FLAIR MRI.
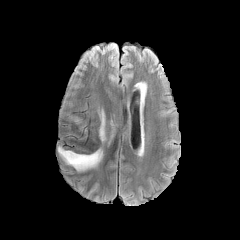
T1-weighted MR image.
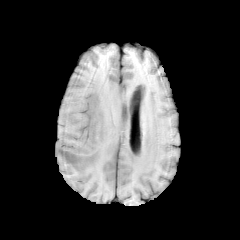
Post-contrast T1-weighted magnetic resonance.
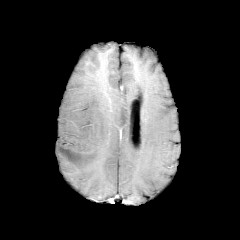
T2-weighted MR image.
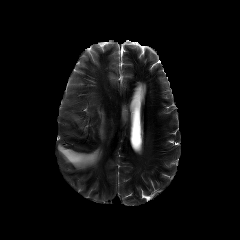
Head.
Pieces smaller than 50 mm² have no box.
Annotated regions:
- peritumoral edema: (x1=98, y1=110, x2=105, y2=141), (x1=58, y1=145, x2=102, y2=170)